Axial view | Slice 113/155
FLAIR MR.
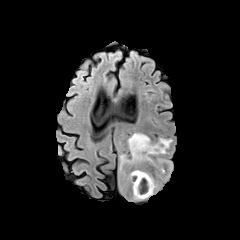
T1-weighted magnetic resonance.
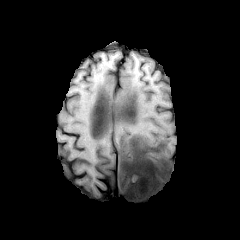
Post-contrast T1-weighted magnetic resonance.
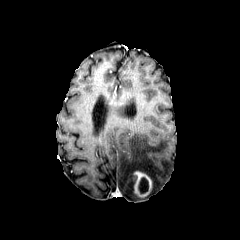
T2-weighted MR.
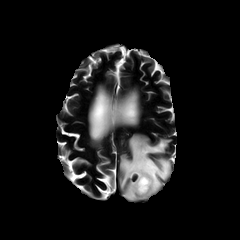
The necrotic tumor core lies within 139,177,148,193. The peritumoral edema appears at 119,133,172,200. The enhancing tumor is bounded by 133,171,152,197.